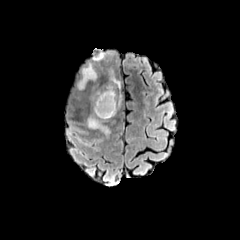
FLAIR MRI.
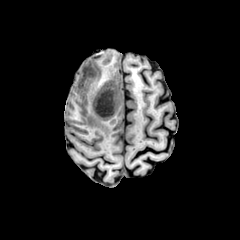
T1-weighted MR image.
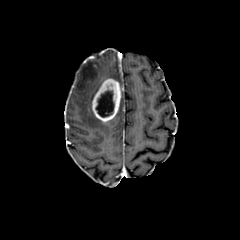
Post-contrast T1-weighted MR of the same slice.
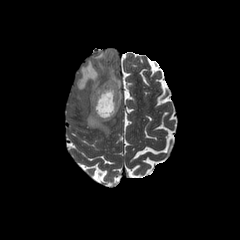
T2-weighted magnetic resonance.
Brain, Axial slice
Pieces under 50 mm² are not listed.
The 3 largest peritumoral edema regions appear at box=[78, 62, 97, 90]; box=[109, 69, 120, 86]; box=[87, 113, 110, 135]. The enhancing tumor is bounded by box=[92, 78, 121, 121]. The necrotic tumor core is at box=[96, 90, 114, 117].